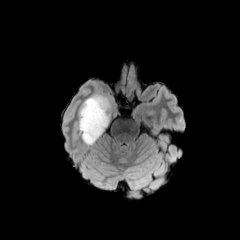
FLAIR MR.
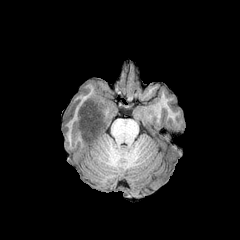
Same slice, T1-weighted MRI.
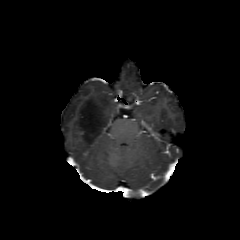
Same slice, post-contrast T1-weighted magnetic resonance.
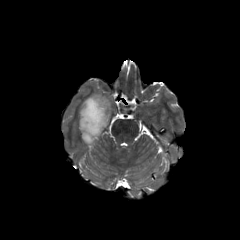
T2-weighted MR image of the same slice.
Axial plane, Head
The peritumoral edema lies within (left=79, top=94, right=118, bottom=146).